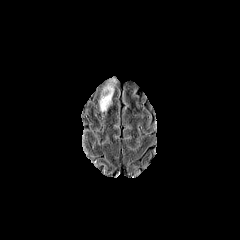
FLAIR MR image.
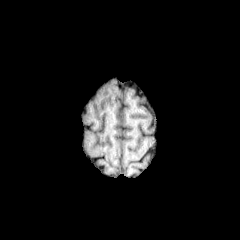
T1-weighted MRI.
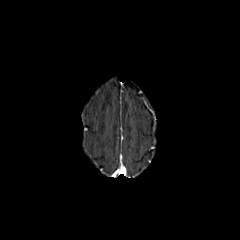
Same slice, post-contrast T1-weighted magnetic resonance.
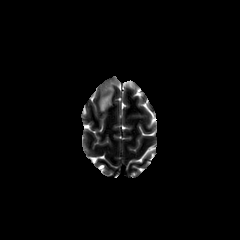
Same slice, T2-weighted magnetic resonance.
peritumoral_edema:
  - rect(99, 84, 113, 111)